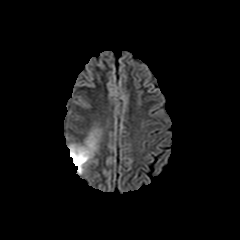
FLAIR MR.
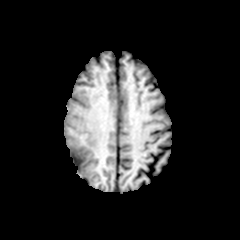
T1-weighted MR of the same slice.
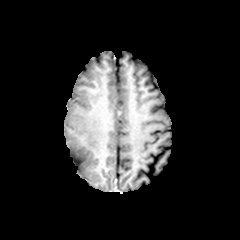
Same slice, post-contrast T1-weighted MR.
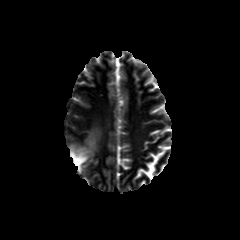
T2-weighted MR image of the same slice.
* peritumoral edema: 69, 135, 95, 173